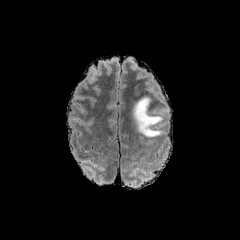
FLAIR MR image.
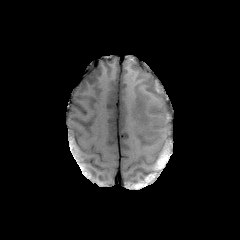
T1-weighted MR image.
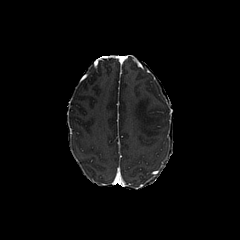
Same slice, post-contrast T1-weighted MRI.
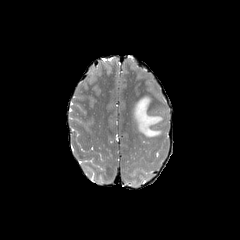
Same slice, T2-weighted MR image.
Findings:
- peritumoral edema: (133,96,162,137)